FLAIR MR image.
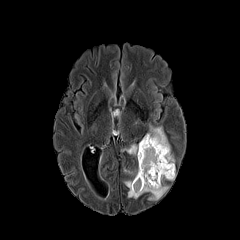
T1-weighted magnetic resonance.
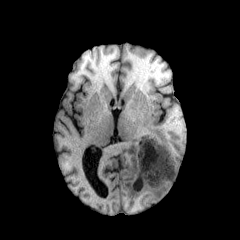
Post-contrast T1-weighted magnetic resonance.
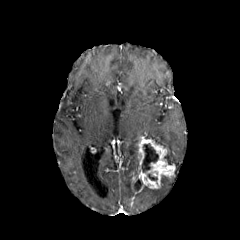
T2-weighted MR image.
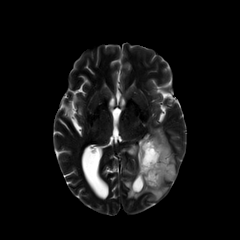
Head; 240x240 px
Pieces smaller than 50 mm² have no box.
The enhancing tumor appears at [132, 137, 175, 193]. The 3 largest peritumoral edema regions are bounded by [124, 170, 175, 200], [145, 125, 175, 164], [125, 144, 137, 155]. The 2 largest necrotic tumor core regions are located at [141, 143, 158, 172], [134, 179, 142, 191].